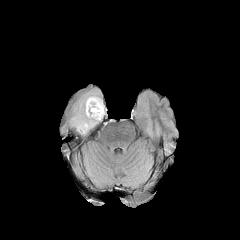
FLAIR MR image.
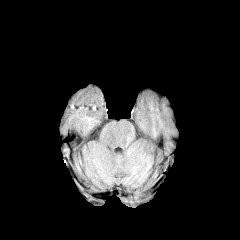
T1-weighted MR image.
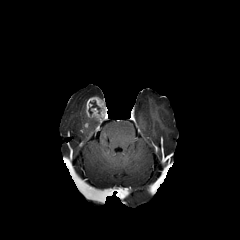
Same slice, post-contrast T1-weighted MRI.
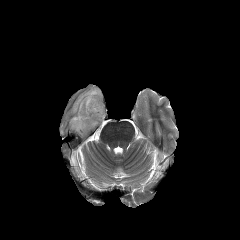
T2-weighted MR image.
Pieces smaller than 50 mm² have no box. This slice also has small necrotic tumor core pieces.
peritumoral edema: rect(70, 90, 100, 134) | enhancing tumor: rect(85, 96, 107, 121)